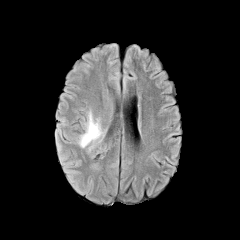
FLAIR magnetic resonance.
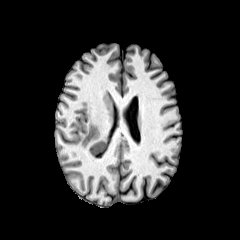
T1-weighted magnetic resonance.
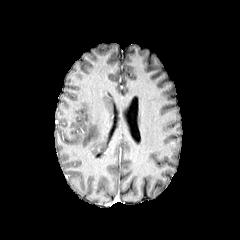
Post-contrast T1-weighted MR.
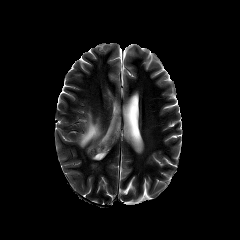
T2-weighted MRI.
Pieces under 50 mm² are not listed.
* peritumoral edema: [92,142,106,154], [78,112,102,147]